FLAIR MR.
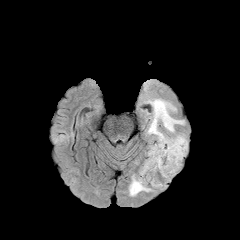
T1-weighted MRI.
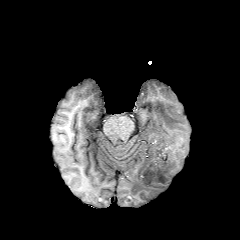
Post-contrast T1-weighted MRI.
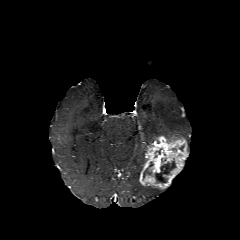
T2-weighted magnetic resonance.
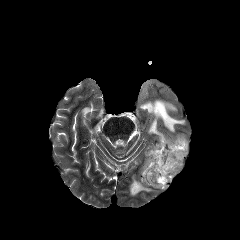
Brain.
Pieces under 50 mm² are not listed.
2 peritumoral edema regions appear at box=[129, 175, 153, 196]; box=[147, 98, 186, 139]. The largest necrotic tumor core region appears at box=[155, 161, 175, 182]. The enhancing tumor is bounded by box=[139, 135, 187, 189].